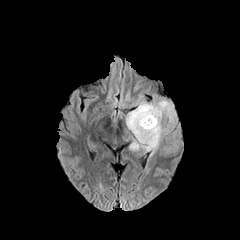
FLAIR MRI.
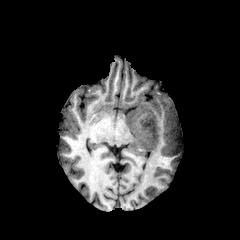
Same slice, T1-weighted MRI.
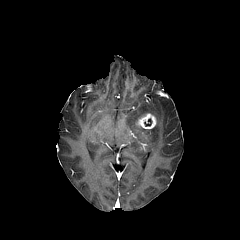
Post-contrast T1-weighted MR image.
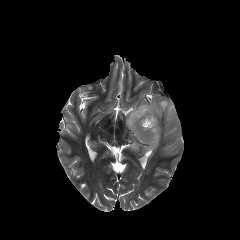
Same slice, T2-weighted magnetic resonance.
240x240; Axial plane; Brain
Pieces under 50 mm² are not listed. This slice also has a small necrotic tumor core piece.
enhancing tumor at l=137, t=113, r=156, b=128
peritumoral edema at l=126, t=97, r=176, b=156